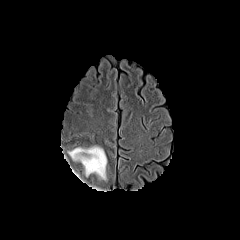
FLAIR magnetic resonance.
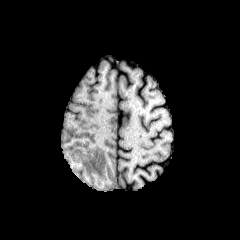
T1-weighted magnetic resonance.
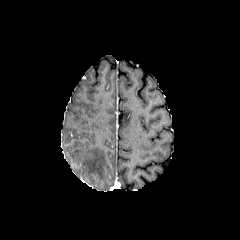
Post-contrast T1-weighted MRI.
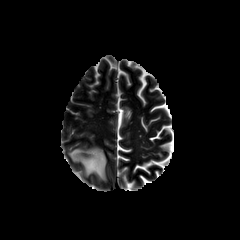
T2-weighted MR image of the same slice.
Axial slice
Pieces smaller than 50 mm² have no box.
The largest peritumoral edema region lies within 68:146:106:180.